Brain | Axial view | Slice 126 of 155
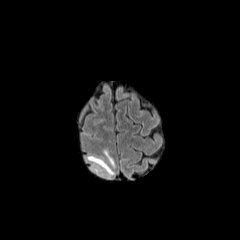
FLAIR MRI.
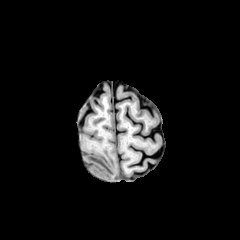
T1-weighted MR.
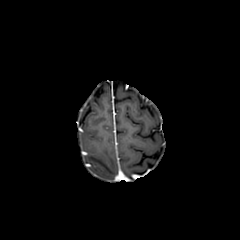
Post-contrast T1-weighted magnetic resonance of the same slice.
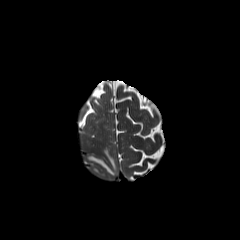
Same slice, T2-weighted magnetic resonance.
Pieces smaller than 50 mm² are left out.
<segmentation>
  <peritumoral_edema>bbox=[87, 156, 114, 174]; bbox=[104, 150, 114, 168]</peritumoral_edema>
</segmentation>